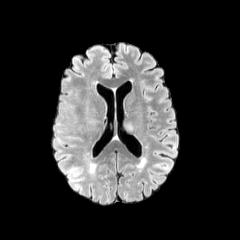
FLAIR MR image.
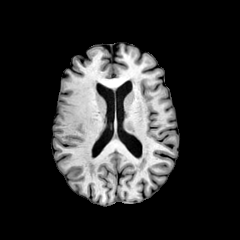
Same slice, T1-weighted MR image.
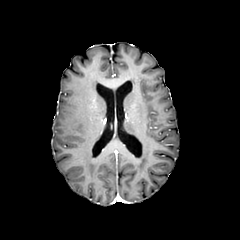
Post-contrast T1-weighted MRI.
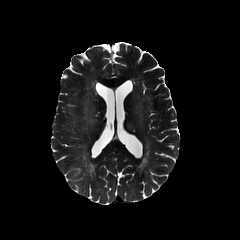
Same slice, T2-weighted magnetic resonance.
Image size 240x240
The peritumoral edema appears at [x1=86, y1=101, x2=101, y2=124].